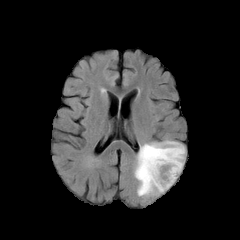
FLAIR MR image.
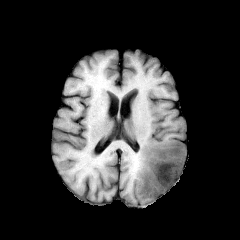
T1-weighted MR image.
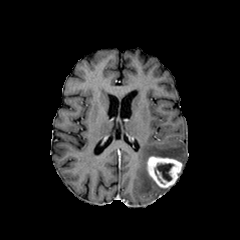
Post-contrast T1-weighted MRI.
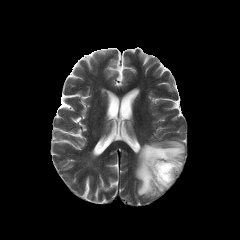
T2-weighted MR image.
Axial plane, Head
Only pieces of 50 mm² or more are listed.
{
  "necrotic_tumor_core": [
    "box=[157, 163, 173, 181]"
  ],
  "peritumoral_edema": [
    "box=[134, 140, 185, 197]"
  ],
  "enhancing_tumor": [
    "box=[146, 156, 182, 188]"
  ]
}